Image width 240 mm, 1.00 mm slice spacing; Axial plane; Slice 114/155; Head
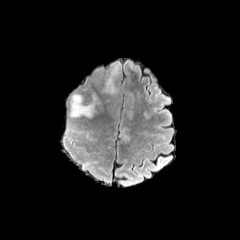
FLAIR MR image.
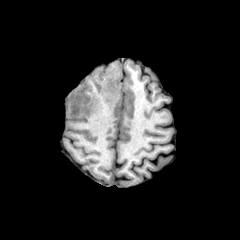
T1-weighted MR of the same slice.
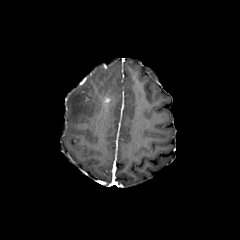
Post-contrast T1-weighted MR.
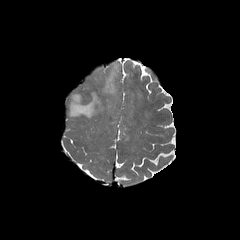
T2-weighted MRI of the same slice.
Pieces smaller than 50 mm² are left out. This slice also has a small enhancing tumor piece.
peritumoral edema: 69 93 100 118, 102 62 120 102